Head | Axial view
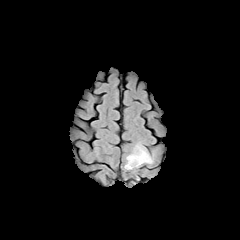
FLAIR MRI.
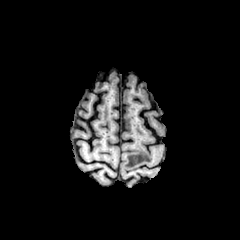
Same slice, T1-weighted magnetic resonance.
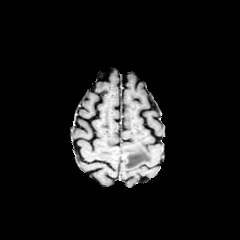
Post-contrast T1-weighted magnetic resonance.
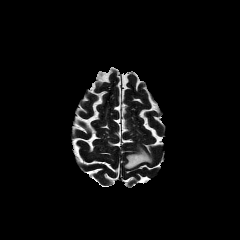
Same slice, T2-weighted MR image.
peritumoral edema: bounding box [x1=125, y1=144, x2=152, y2=169]